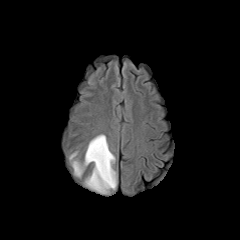
FLAIR MRI.
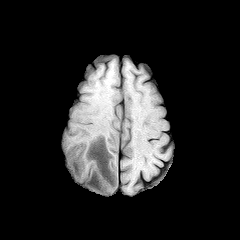
T1-weighted MR.
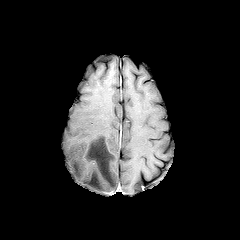
Same slice, post-contrast T1-weighted MR.
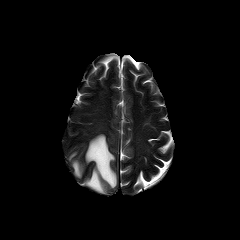
T2-weighted MRI of the same slice.
240x240 px.
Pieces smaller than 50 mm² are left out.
peritumoral edema: <box>72,161,83,176</box>, <box>84,134,116,193</box>